Axial view; Head
FLAIR MRI.
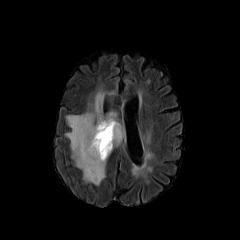
T1-weighted MR image.
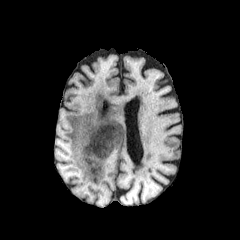
Post-contrast T1-weighted MRI.
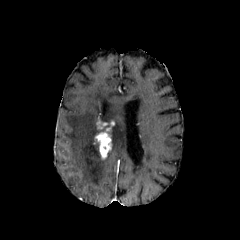
T2-weighted MR.
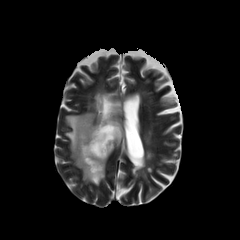
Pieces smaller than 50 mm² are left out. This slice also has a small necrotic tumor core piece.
enhancing tumor: bounding box {"x1": 93, "y1": 119, "x2": 114, "y2": 158}
peritumoral edema: bounding box {"x1": 65, "y1": 92, "x2": 124, "y2": 185}